FLAIR MR image.
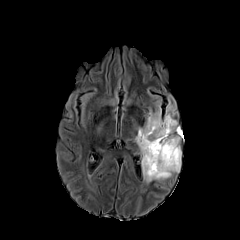
T1-weighted MRI.
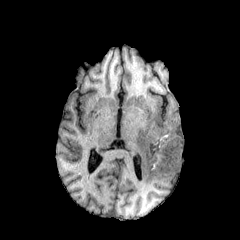
Post-contrast T1-weighted MR.
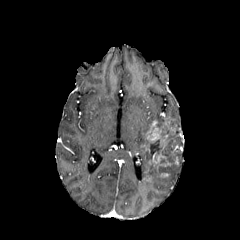
T2-weighted MRI.
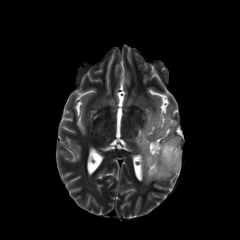
Axial slice, Brain, Image size 240x240
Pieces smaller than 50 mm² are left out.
necrotic_tumor_core:
  - box=[141, 117, 180, 178]
enhancing_tumor:
  - box=[149, 138, 171, 166]
  - box=[146, 120, 161, 142]
peritumoral_edema:
  - box=[165, 104, 179, 127]
  - box=[134, 106, 180, 183]